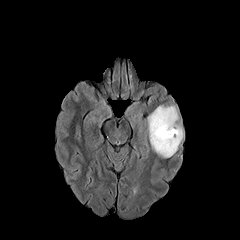
FLAIR MR image.
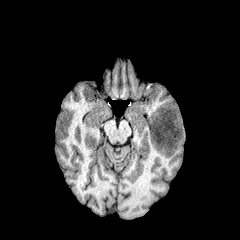
T1-weighted MR image of the same slice.
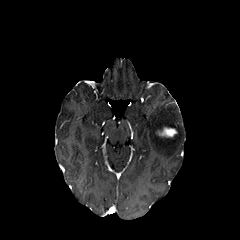
Post-contrast T1-weighted MR.
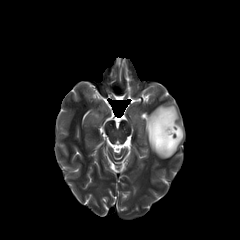
T2-weighted MR image of the same slice.
<segmentation>
  <peritumoral_edema>box(147, 105, 184, 158)</peritumoral_edema>
  <enhancing_tumor>box(157, 127, 176, 137)</enhancing_tumor>
</segmentation>